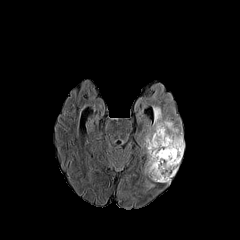
FLAIR magnetic resonance.
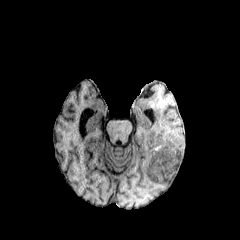
Same slice, T1-weighted magnetic resonance.
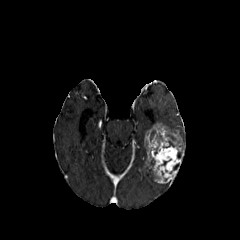
Post-contrast T1-weighted MR image.
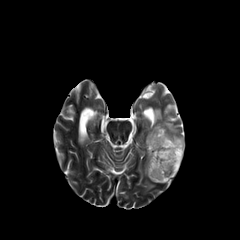
T2-weighted MRI.
Head, Axial view
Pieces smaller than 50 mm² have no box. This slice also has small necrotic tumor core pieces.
<segmentation>
  <enhancing_tumor>bbox(144, 123, 184, 183)</enhancing_tumor>
  <peritumoral_edema>bbox(144, 167, 153, 180); bbox(153, 107, 178, 132)</peritumoral_edema>
</segmentation>